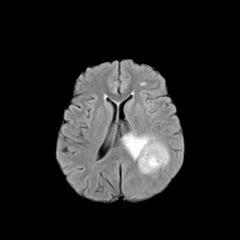
FLAIR MR.
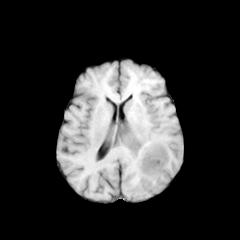
T1-weighted MRI.
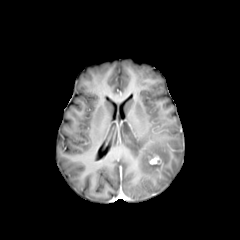
Same slice, post-contrast T1-weighted MR.
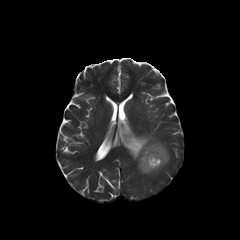
T2-weighted MRI.
The peritumoral edema is bounded by box=[122, 132, 169, 173]. The enhancing tumor is located at box=[149, 156, 163, 165].